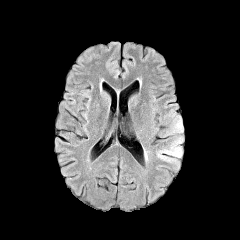
FLAIR magnetic resonance.
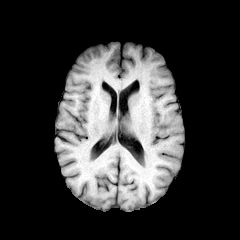
T1-weighted magnetic resonance.
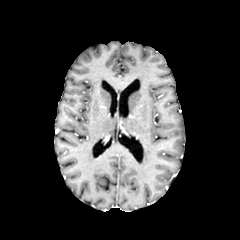
Post-contrast T1-weighted MR image.
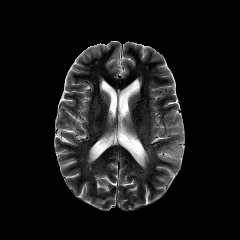
T2-weighted MR image.
Axial slice; 240x240 px; Brain
peritumoral_edema:
  - <bbox>156, 137, 182, 169</bbox>
  - <bbox>159, 116, 182, 137</bbox>